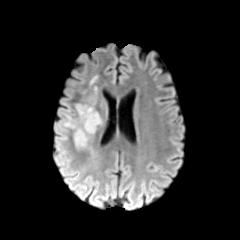
FLAIR MR image.
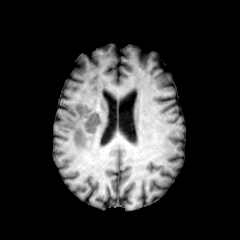
Same slice, T1-weighted MR.
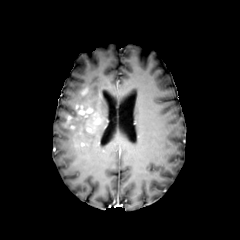
Post-contrast T1-weighted MR.
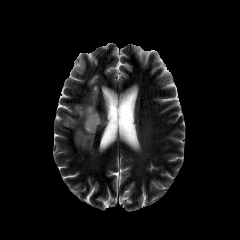
T2-weighted MRI.
Image size 240x240 | Axial slice
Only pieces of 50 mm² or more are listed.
- enhancing tumor: [x1=75, y1=105, x2=101, y2=132]
- peritumoral edema: [x1=75, y1=128, x2=87, y2=145], [x1=79, y1=114, x2=90, y2=132], [x1=67, y1=118, x2=75, y2=127]